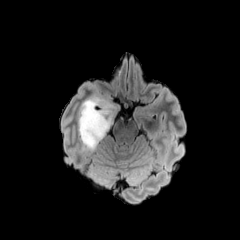
FLAIR magnetic resonance.
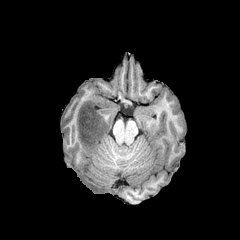
T1-weighted MR image.
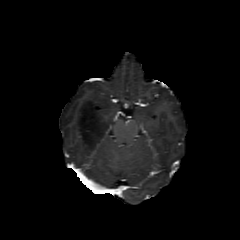
Post-contrast T1-weighted MR.
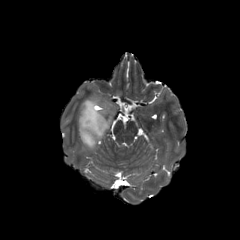
T2-weighted MR of the same slice.
Head
peritumoral edema at 78:95:120:151